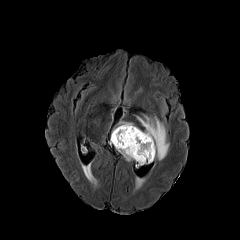
FLAIR MR.
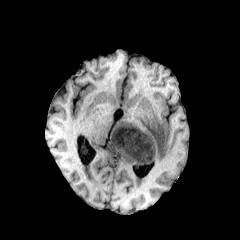
T1-weighted magnetic resonance.
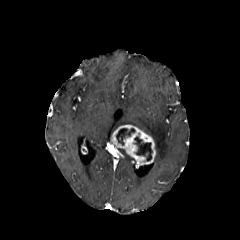
Post-contrast T1-weighted magnetic resonance.
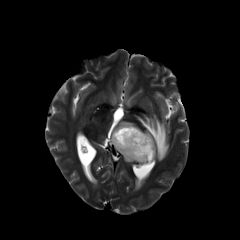
Same slice, T2-weighted MR.
Image size 240x240. Axial plane. Head.
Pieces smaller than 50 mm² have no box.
necrotic tumor core = box(134, 136, 152, 161); box(116, 128, 135, 145)
peritumoral edema = box(117, 149, 133, 161); box(137, 115, 169, 160); box(113, 121, 133, 131)
enhancing tumor = box(110, 124, 156, 166)